FLAIR magnetic resonance.
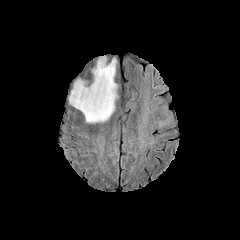
T1-weighted MR image.
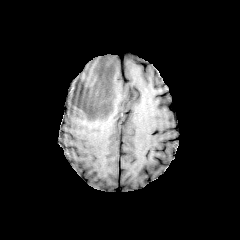
Post-contrast T1-weighted magnetic resonance.
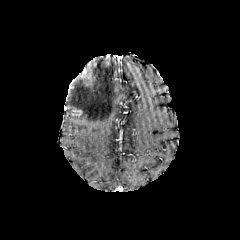
T2-weighted MR image.
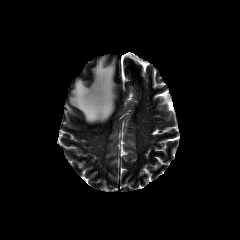
Brain
The peritumoral edema is at x1=69, y1=56, x2=117, y2=123.